FLAIR MR.
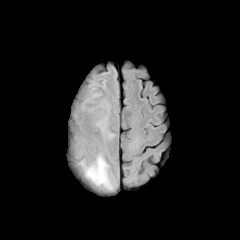
T1-weighted magnetic resonance.
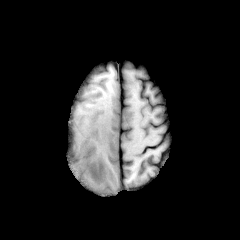
Post-contrast T1-weighted magnetic resonance.
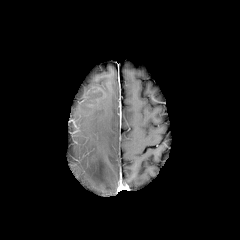
T2-weighted magnetic resonance.
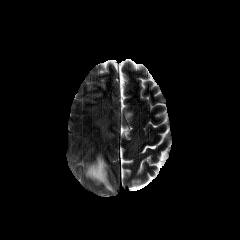
Image size 240x240; Axial view; Head
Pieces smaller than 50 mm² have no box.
Findings:
- peritumoral edema: l=85, t=155, r=112, b=189